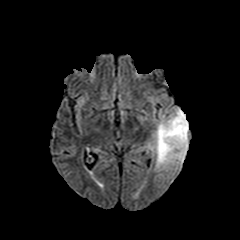
FLAIR MRI.
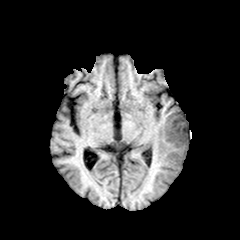
T1-weighted MR of the same slice.
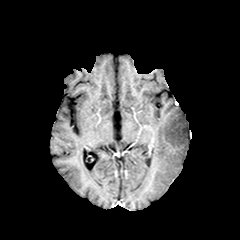
Post-contrast T1-weighted MRI of the same slice.
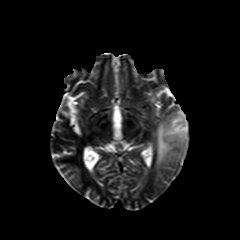
T2-weighted MRI.
Brain; Image size 240x240
peritumoral edema: (left=154, top=108, right=188, bottom=168)